FLAIR MR.
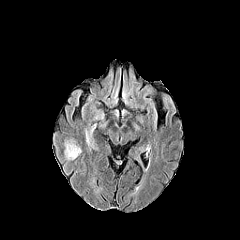
T1-weighted MRI.
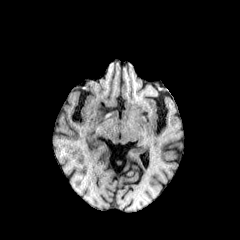
Post-contrast T1-weighted magnetic resonance.
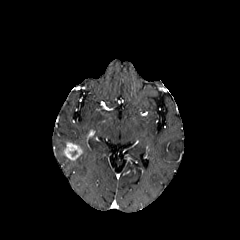
T2-weighted MR image.
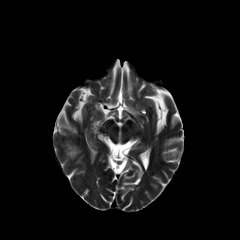
Brain
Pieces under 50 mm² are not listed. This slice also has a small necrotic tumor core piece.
The enhancing tumor is bounded by {"x1": 64, "y1": 141, "x2": 82, "y2": 160}. The largest peritumoral edema region is located at {"x1": 64, "y1": 138, "x2": 78, "y2": 147}.